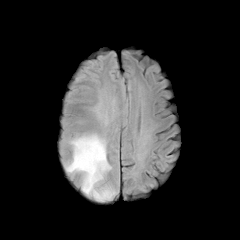
FLAIR MR.
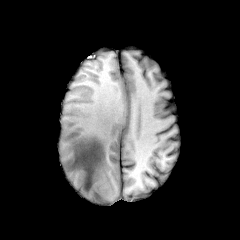
T1-weighted MR image.
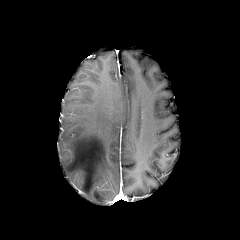
Post-contrast T1-weighted MRI of the same slice.
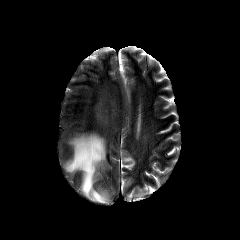
Same slice, T2-weighted magnetic resonance.
Image size 240x240
peritumoral edema at (65, 133, 114, 201)